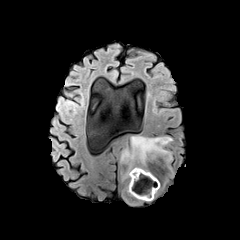
FLAIR magnetic resonance.
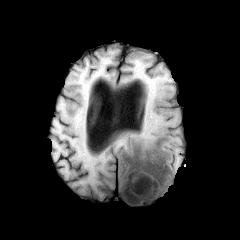
T1-weighted MR image of the same slice.
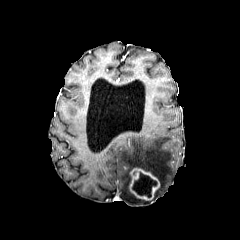
Same slice, post-contrast T1-weighted magnetic resonance.
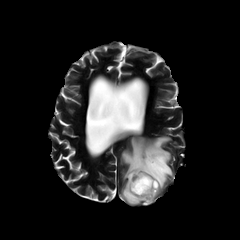
T2-weighted MRI.
Axial plane | Brain | Image size 240x240
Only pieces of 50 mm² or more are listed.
necrotic_tumor_core:
  - (132,172,157,196)
peritumoral_edema:
  - (120,136,173,204)
enhancing_tumor:
  - (129,168,160,200)